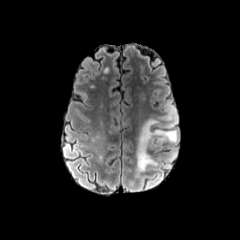
FLAIR magnetic resonance.
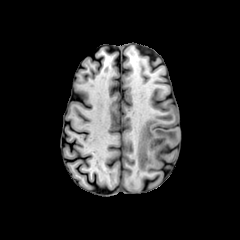
Same slice, T1-weighted MR image.
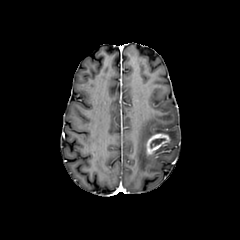
Post-contrast T1-weighted MRI of the same slice.
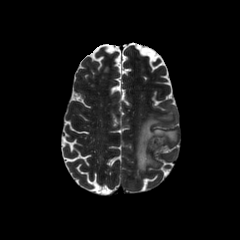
Same slice, T2-weighted MR image.
Brain. Axial slice.
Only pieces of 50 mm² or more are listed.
Findings:
• enhancing tumor: {"x1": 146, "y1": 133, "x2": 170, "y2": 155}
• peritumoral edema: {"x1": 136, "y1": 102, "x2": 178, "y2": 170}
• necrotic tumor core: {"x1": 150, "y1": 138, "x2": 165, "y2": 147}